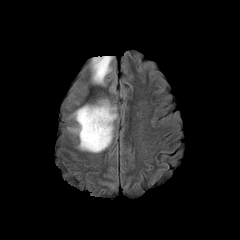
FLAIR MRI.
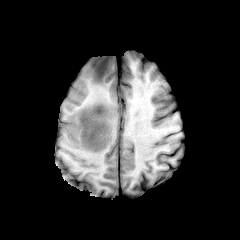
T1-weighted MRI.
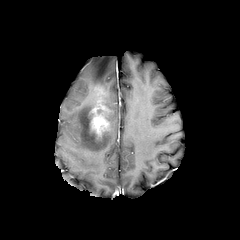
Post-contrast T1-weighted MR of the same slice.
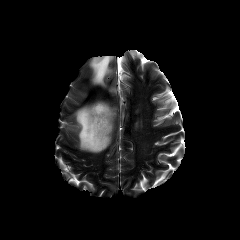
T2-weighted MRI.
* enhancing tumor: 86:87:113:142
* peritumoral edema: 70:103:112:152, 91:56:112:84, 103:101:116:130